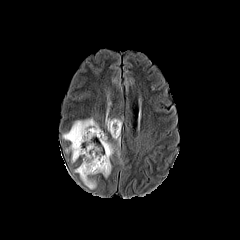
FLAIR magnetic resonance.
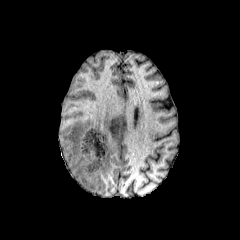
T1-weighted MRI.
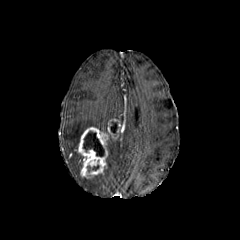
Post-contrast T1-weighted magnetic resonance.
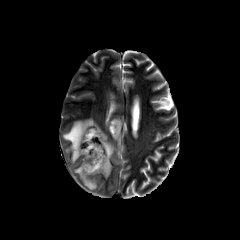
T2-weighted MRI.
Head, Axial plane
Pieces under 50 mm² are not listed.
The enhancing tumor appears at {"x1": 75, "y1": 118, "x2": 122, "y2": 178}. The 3 largest peritumoral edema regions are located at {"x1": 63, "y1": 118, "x2": 101, "y2": 162}, {"x1": 74, "y1": 164, "x2": 96, "y2": 189}, {"x1": 104, "y1": 142, "x2": 119, "y2": 177}. The 2 largest necrotic tumor core regions are located at {"x1": 110, "y1": 122, "x2": 118, "y2": 133}, {"x1": 83, "y1": 132, "x2": 104, "y2": 156}.